240x240 px | Image width 240 mm, 1.00 mm slice spacing | Axial plane | Slice 107 of 155
FLAIR magnetic resonance.
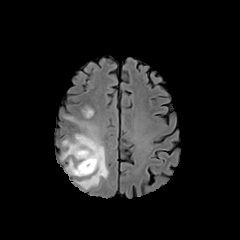
T1-weighted MR image.
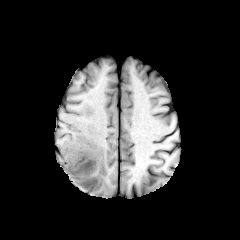
Post-contrast T1-weighted MR image.
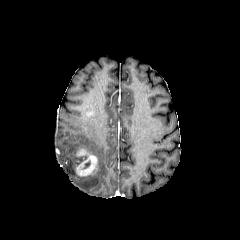
T2-weighted MR.
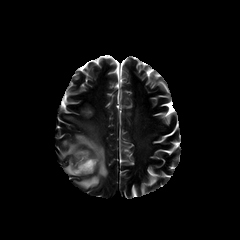
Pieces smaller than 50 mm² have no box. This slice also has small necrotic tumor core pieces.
{"enhancing_tumor": ["x1=75 y1=149 x2=97 y2=176"], "peritumoral_edema": ["x1=60 y1=116 x2=108 y2=189", "x1=82 y1=107 x2=93 y2=118"]}